FLAIR MR.
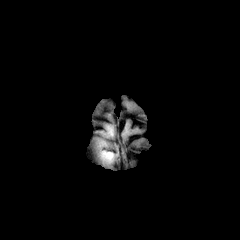
T1-weighted magnetic resonance.
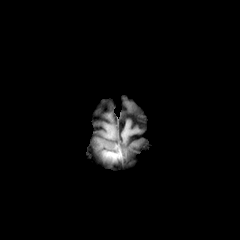
Post-contrast T1-weighted MRI.
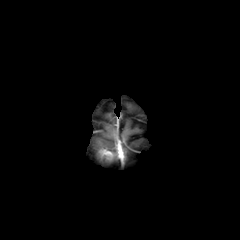
T2-weighted MR image.
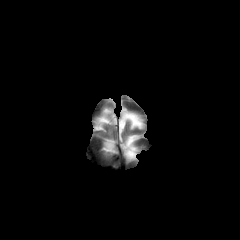
Brain, 240x240 px
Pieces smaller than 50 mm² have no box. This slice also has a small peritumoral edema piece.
The enhancing tumor is located at 102:150:112:157.